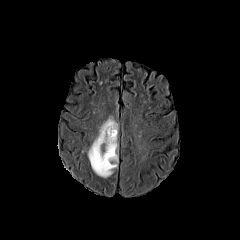
FLAIR MR image.
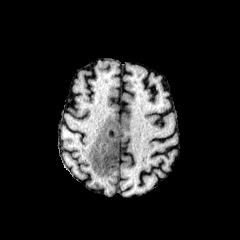
T1-weighted MR.
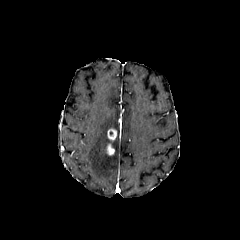
Same slice, post-contrast T1-weighted MR image.
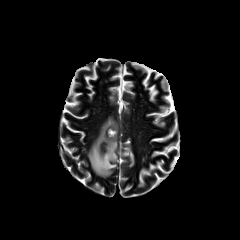
T2-weighted MRI of the same slice.
Axial slice, Head, 240x240
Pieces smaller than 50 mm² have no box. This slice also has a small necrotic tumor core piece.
- enhancing tumor: <bbox>106, 128, 116, 155</bbox>
- peritumoral edema: <bbox>87, 116, 118, 177</bbox>